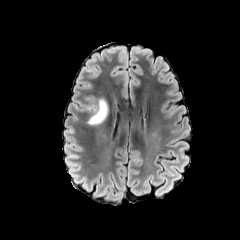
FLAIR MR.
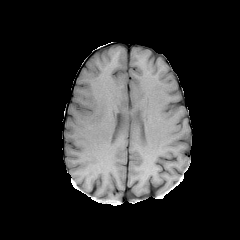
Same slice, T1-weighted magnetic resonance.
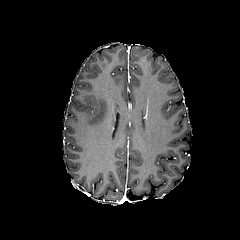
Post-contrast T1-weighted MR image of the same slice.
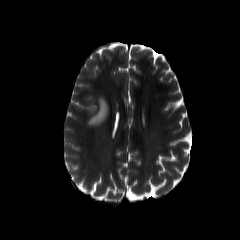
Same slice, T2-weighted MR image.
Brain. Axial slice.
The peritumoral edema appears at 86 98 108 125.